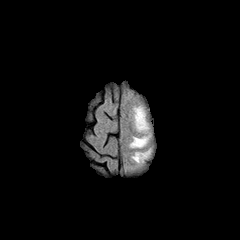
FLAIR magnetic resonance.
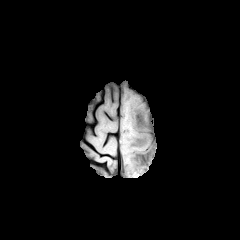
T1-weighted magnetic resonance.
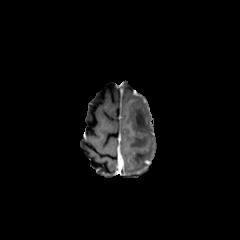
Post-contrast T1-weighted MR of the same slice.
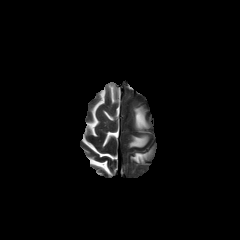
T2-weighted MRI of the same slice.
Head. Axial view.
<segmentation>
  <peritumoral_edema>129 136 149 147, 133 106 148 131, 131 149 151 163</peritumoral_edema>
</segmentation>